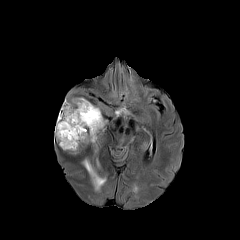
FLAIR MRI.
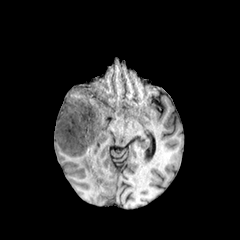
T1-weighted MRI.
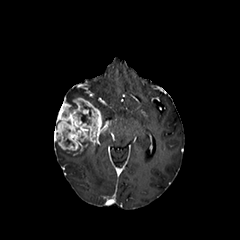
Post-contrast T1-weighted MR of the same slice.
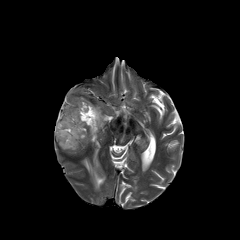
T2-weighted magnetic resonance.
Axial view. 240x240.
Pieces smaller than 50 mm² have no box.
enhancing_tumor:
  - l=54, t=97, r=103, b=153
necrotic_tumor_core:
  - l=80, t=113, r=89, b=123
peritumoral_edema:
  - l=83, t=159, r=105, b=191
  - l=66, t=88, r=84, b=108